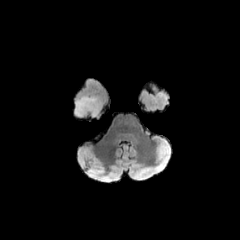
FLAIR magnetic resonance.
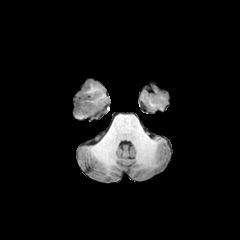
T1-weighted magnetic resonance.
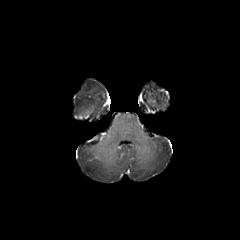
Same slice, post-contrast T1-weighted magnetic resonance.
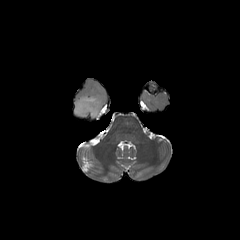
T2-weighted MR image.
Axial plane. Brain.
The peritumoral edema is at box=[75, 95, 102, 116]. The enhancing tumor appears at box=[78, 109, 92, 118].